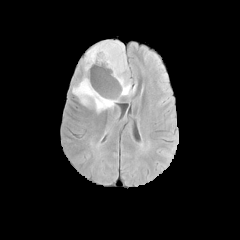
FLAIR MR.
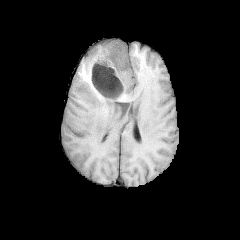
Same slice, T1-weighted MR.
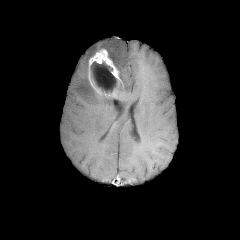
Post-contrast T1-weighted MRI of the same slice.
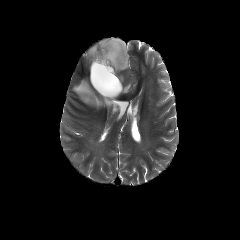
T2-weighted MRI of the same slice.
Axial slice | Brain
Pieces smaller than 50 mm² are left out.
<segmentation>
  <necrotic_tumor_core>x1=91, y1=61, x2=117, y2=92</necrotic_tumor_core>
  <enhancing_tumor>x1=89, y1=49, x2=122, y2=97</enhancing_tumor>
  <peritumoral_edema>x1=72, y1=78, x2=117, y2=114; x1=83, y1=40, x2=131, y2=94</peritumoral_edema>
</segmentation>